Slice 139 of 155, 240x240 px
FLAIR MR.
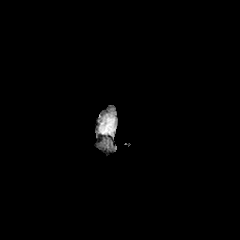
T1-weighted MRI.
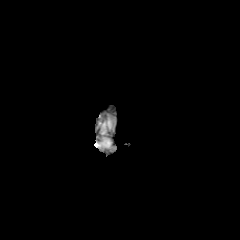
Post-contrast T1-weighted MR.
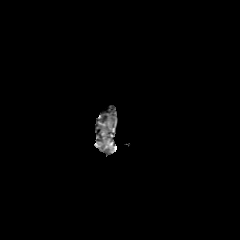
T2-weighted MRI.
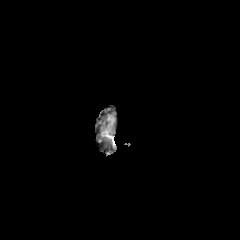
peritumoral_edema:
  - 99 114 114 133